FLAIR MR.
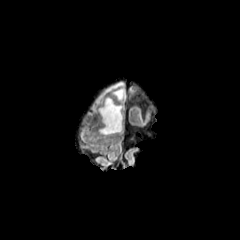
T1-weighted MR.
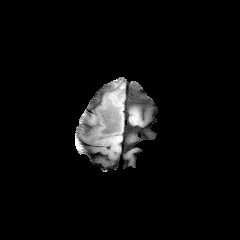
Post-contrast T1-weighted magnetic resonance.
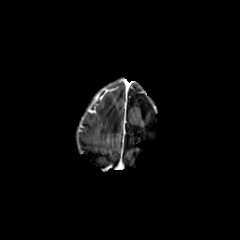
T2-weighted MR.
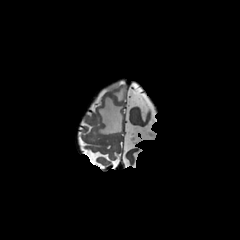
Head.
peritumoral edema — x1=97 y1=81 x2=124 y2=134